Image width 240 mm; Head; Axial plane
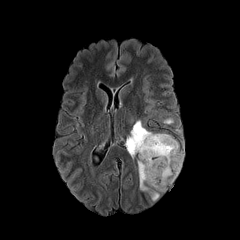
FLAIR MRI.
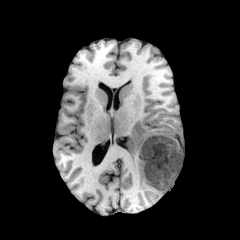
Same slice, T1-weighted MRI.
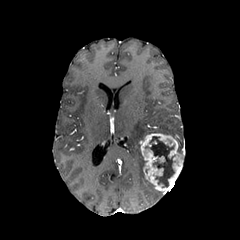
Post-contrast T1-weighted MR image.
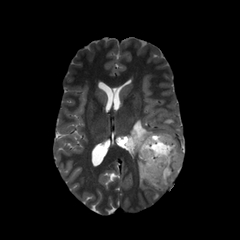
T2-weighted MR of the same slice.
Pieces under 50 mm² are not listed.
necrotic tumor core: bounding box 150 136 174 186
peritumoral edema: bounding box 126 120 153 190, 150 191 159 200
enhancing tumor: bounding box 139 133 184 193